Axial slice; Slice 111/155
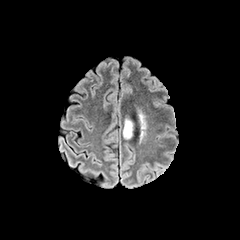
FLAIR MRI.
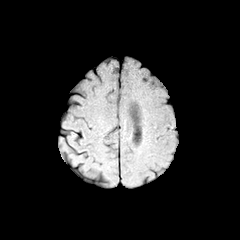
Same slice, T1-weighted magnetic resonance.
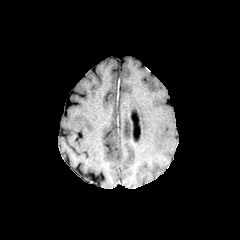
Post-contrast T1-weighted MRI.
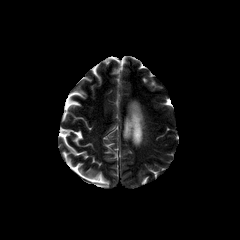
Same slice, T2-weighted MR.
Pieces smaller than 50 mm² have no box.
peritumoral_edema:
  - box(123, 118, 132, 139)
  - box(139, 113, 146, 129)